Image covers 240 mm x 240 mm, Slice index 50
FLAIR MR image.
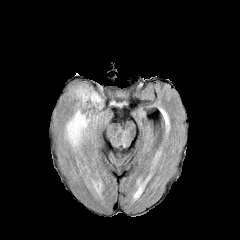
T1-weighted MRI.
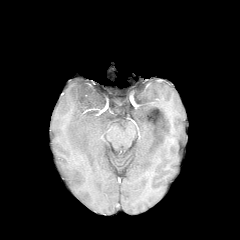
Post-contrast T1-weighted MRI.
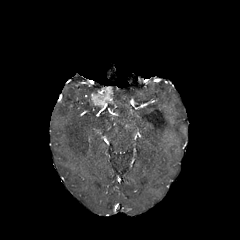
T2-weighted MR.
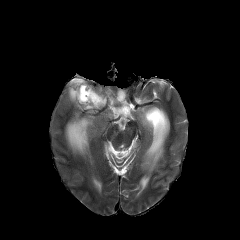
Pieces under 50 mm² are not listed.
Segmented structures:
• enhancing tumor: <bbox>89, 87, 113, 107</bbox>
• peritumoral edema: <bbox>71, 85, 95, 104</bbox>, <bbox>66, 111, 90, 151</bbox>